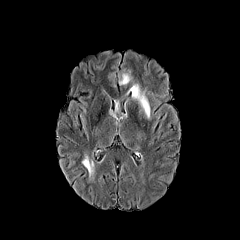
FLAIR MRI.
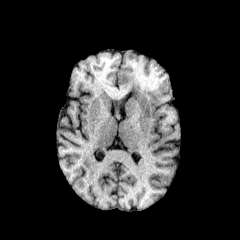
Same slice, T1-weighted MR.
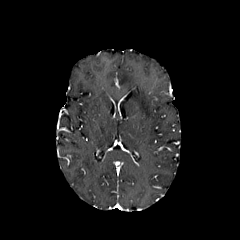
Same slice, post-contrast T1-weighted MR image.
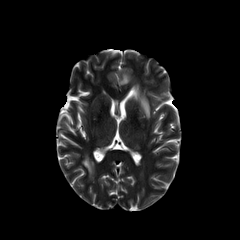
T2-weighted MRI.
Axial view. Head.
peritumoral_edema:
  - [82,152,93,176]
  - [130,82,151,120]
  - [118,73,132,84]